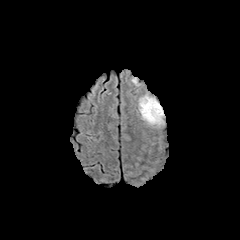
FLAIR magnetic resonance.
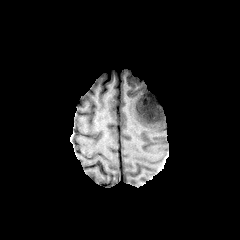
T1-weighted magnetic resonance.
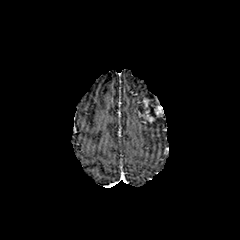
Post-contrast T1-weighted MRI of the same slice.
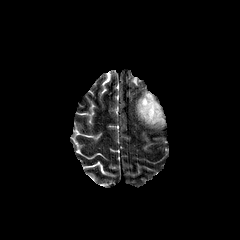
T2-weighted MRI.
Head, Image size 240x240
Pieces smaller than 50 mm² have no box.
The 3 largest peritumoral edema regions are bounded by (x1=141, y1=116, x2=163, y2=124), (x1=139, y1=94, x2=156, y2=105), (x1=138, y1=103, x2=144, y2=114). The enhancing tumor appears at (x1=139, y1=97, x2=163, y2=122).